Slice index 106.
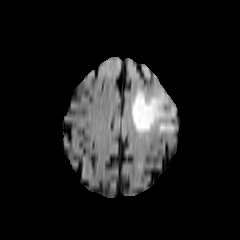
FLAIR magnetic resonance.
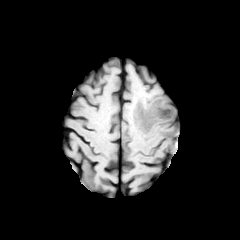
Same slice, T1-weighted magnetic resonance.
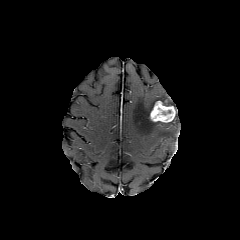
Same slice, post-contrast T1-weighted MR.
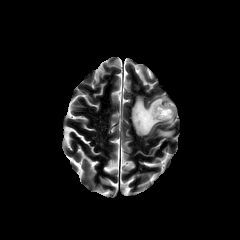
Same slice, T2-weighted MRI.
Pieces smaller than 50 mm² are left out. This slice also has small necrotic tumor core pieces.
enhancing tumor: box=[149, 99, 176, 122]
peritumoral edema: box=[131, 92, 173, 135]